FLAIR MR.
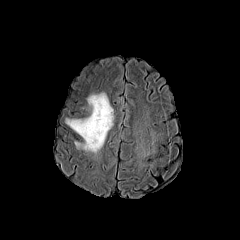
T1-weighted MR image.
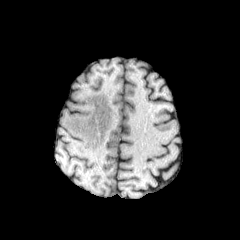
Post-contrast T1-weighted MR.
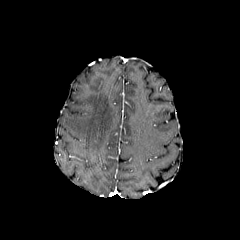
T2-weighted MRI.
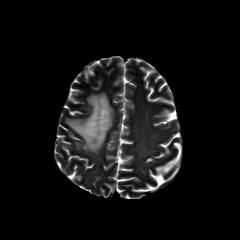
Head
peritumoral_edema:
  - 65 92 113 152